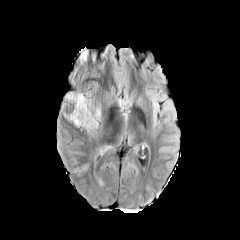
FLAIR MR image.
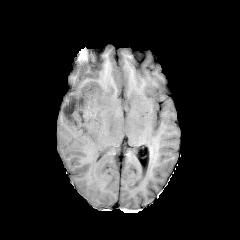
T1-weighted magnetic resonance.
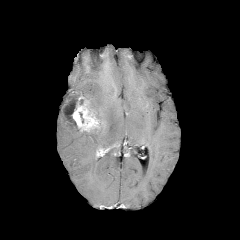
Post-contrast T1-weighted MR image of the same slice.
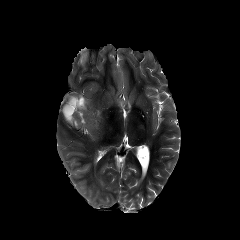
T2-weighted magnetic resonance.
Axial view. Head.
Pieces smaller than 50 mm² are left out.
The enhancing tumor lies within {"x1": 62, "y1": 93, "x2": 99, "y2": 132}. The largest peritumoral edema region is bounded by {"x1": 87, "y1": 100, "x2": 100, "y2": 120}. The largest necrotic tumor core region lies within {"x1": 64, "y1": 96, "x2": 78, "y2": 123}.